Axial view | Image width 240 mm | Slice 122 of 155
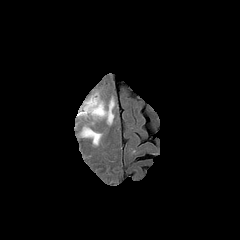
FLAIR magnetic resonance.
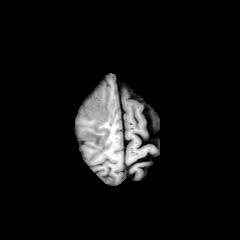
T1-weighted magnetic resonance of the same slice.
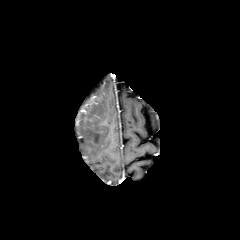
Post-contrast T1-weighted magnetic resonance of the same slice.
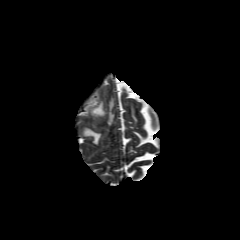
T2-weighted magnetic resonance of the same slice.
<segmentation>
  <peritumoral_edema>{"x1": 78, "y1": 94, "x2": 114, "y2": 124}, {"x1": 81, "y1": 127, "x2": 101, "y2": 145}</peritumoral_edema>
  <enhancing_tumor>{"x1": 86, "y1": 96, "x2": 95, "y2": 107}</enhancing_tumor>
</segmentation>